FLAIR MRI.
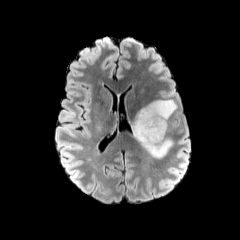
T1-weighted magnetic resonance.
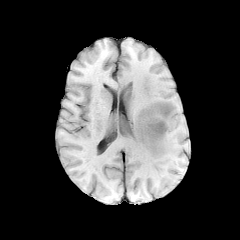
Post-contrast T1-weighted magnetic resonance.
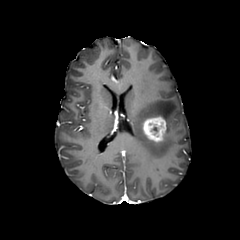
T2-weighted MR.
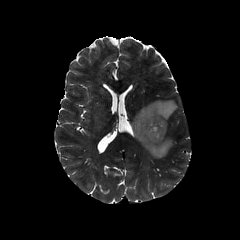
Head; Axial plane
necrotic tumor core at (147, 122, 163, 137)
peritumoral edema at (131, 100, 177, 159)
enhancing tumor at (142, 116, 166, 142)